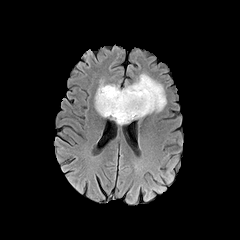
FLAIR MR.
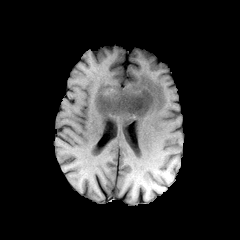
T1-weighted MR.
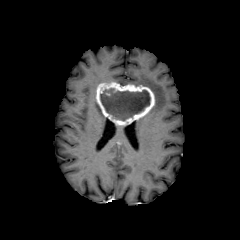
Post-contrast T1-weighted MR of the same slice.
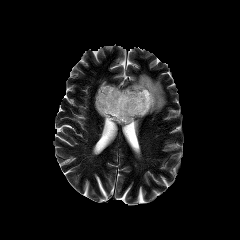
T2-weighted MR image.
Brain
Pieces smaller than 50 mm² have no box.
peritumoral edema — (x1=95, y1=95, x2=106, y2=117), (x1=133, y1=73, x2=166, y2=113)
necrotic tumor core — (x1=100, y1=88, x2=150, y2=120)
enhancing tumor — (x1=96, y1=82, x2=155, y2=125)